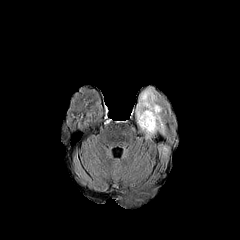
FLAIR MR.
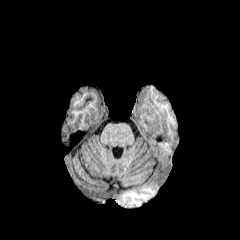
Same slice, T1-weighted MR.
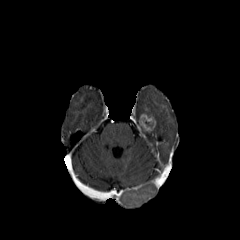
Post-contrast T1-weighted MR of the same slice.
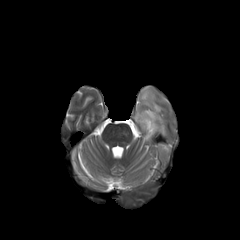
T2-weighted MR image of the same slice.
Axial plane. 240x240 px.
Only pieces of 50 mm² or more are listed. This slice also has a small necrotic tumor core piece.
{"peritumoral_edema": ["<box>158,144,170,157</box>", "<box>136,86,165,140</box>"], "enhancing_tumor": ["<box>139,114,156,132</box>"]}